Axial slice; Image width 240 mm
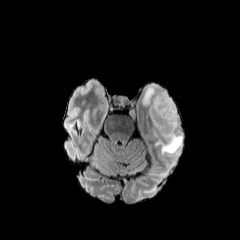
FLAIR magnetic resonance.
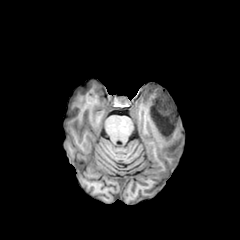
T1-weighted MRI.
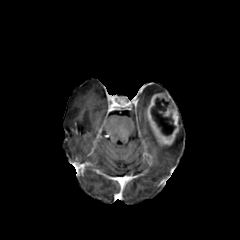
Post-contrast T1-weighted magnetic resonance.
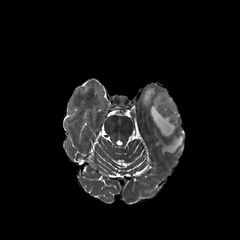
Same slice, T2-weighted magnetic resonance.
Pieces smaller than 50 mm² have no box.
<segmentation>
  <peritumoral_edema>l=161, t=116, r=183, b=155; l=142, t=84, r=165, b=106</peritumoral_edema>
  <necrotic_tumor_core>l=151, t=98, r=175, b=135</necrotic_tumor_core>
  <enhancing_tumor>l=146, t=91, r=179, b=145</enhancing_tumor>
</segmentation>